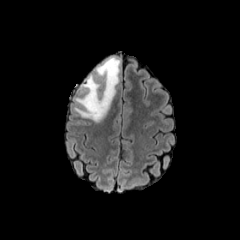
FLAIR MR image.
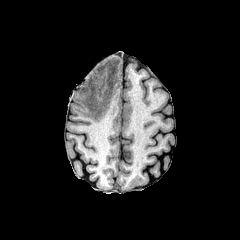
T1-weighted MR image of the same slice.
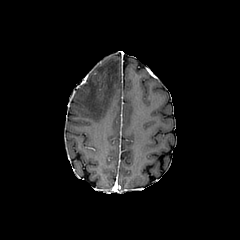
Post-contrast T1-weighted MRI of the same slice.
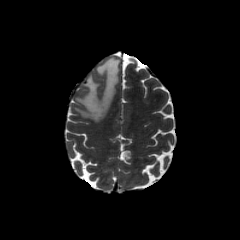
T2-weighted MRI.
Brain, Axial slice, 240x240 px
Findings:
* peritumoral edema: left=75, top=57, right=120, bottom=122